Axial slice
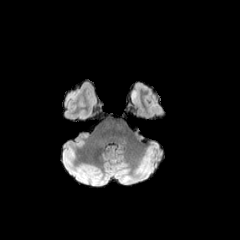
FLAIR MR image.
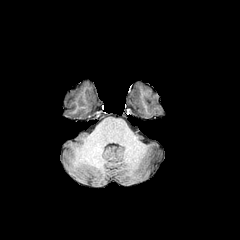
T1-weighted MR image of the same slice.
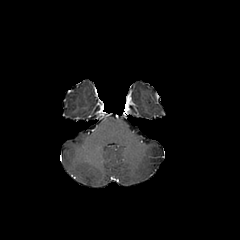
Post-contrast T1-weighted MR image.
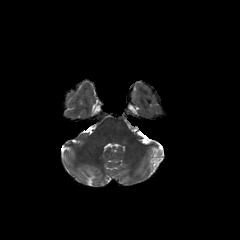
Same slice, T2-weighted MRI.
The peritumoral edema lies within l=130, t=82, r=148, b=100.